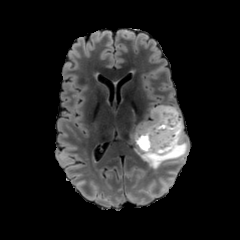
FLAIR MR image.
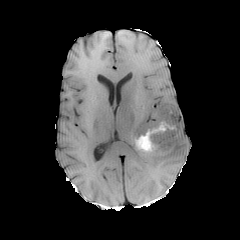
T1-weighted MRI.
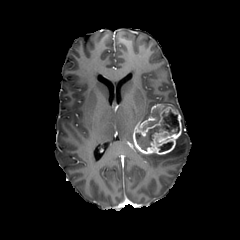
Post-contrast T1-weighted MRI.
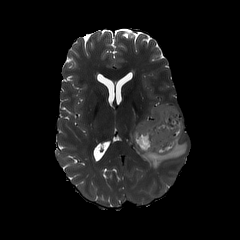
Same slice, T2-weighted MR image.
Head.
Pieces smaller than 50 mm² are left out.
<segmentation>
  <necrotic_tumor_core>[159,142,172,151], [135,109,179,150], [148,106,159,126]</necrotic_tumor_core>
  <enhancing_tumor>[133,104,182,154]</enhancing_tumor>
  <peritumoral_edema>[137,131,187,169]</peritumoral_edema>
</segmentation>